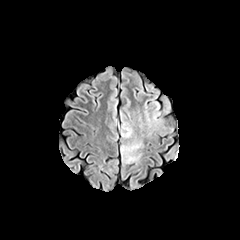
FLAIR magnetic resonance.
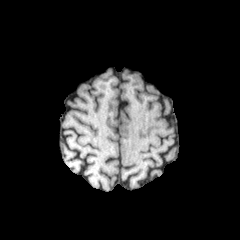
T1-weighted magnetic resonance.
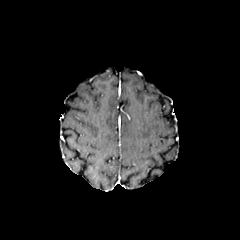
Post-contrast T1-weighted MRI.
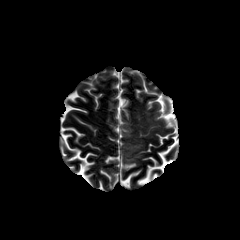
Same slice, T2-weighted MR image.
Image size 240x240, Axial view, Head
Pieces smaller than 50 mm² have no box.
peritumoral edema: box=[121, 143, 140, 160]; box=[122, 123, 132, 137]